Brain; Slice index 128
FLAIR MR image.
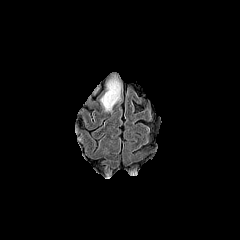
T1-weighted MR.
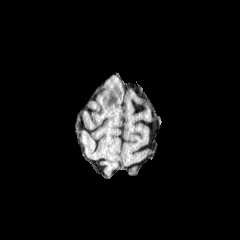
Post-contrast T1-weighted magnetic resonance.
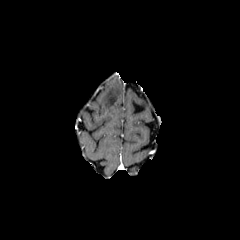
T2-weighted MRI.
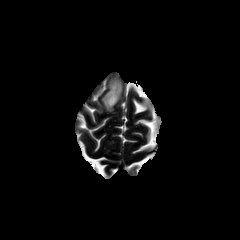
The peritumoral edema is located at x1=101 y1=78 x2=121 y2=111.